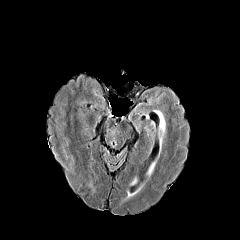
FLAIR magnetic resonance.
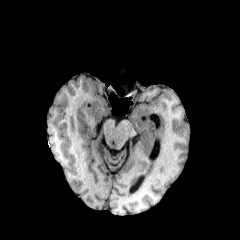
Same slice, T1-weighted magnetic resonance.
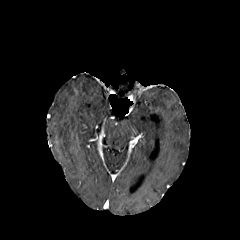
Same slice, post-contrast T1-weighted MRI.
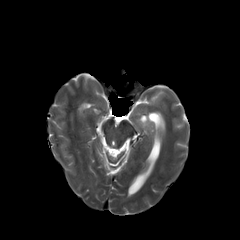
T2-weighted MR of the same slice.
peritumoral edema = 156:111:165:147